Slice 80/155 | Head | Image size 240x240
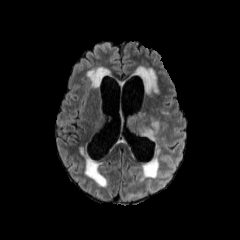
FLAIR magnetic resonance.
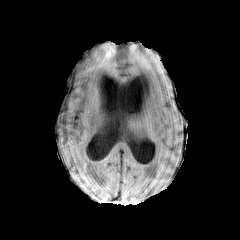
T1-weighted magnetic resonance.
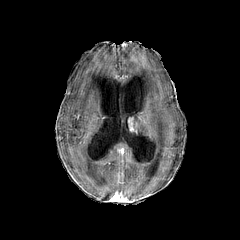
Same slice, post-contrast T1-weighted magnetic resonance.
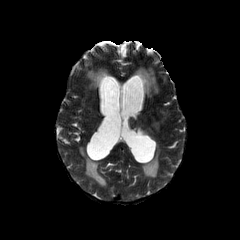
T2-weighted MRI.
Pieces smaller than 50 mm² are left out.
Segmented structures:
• peritumoral edema: (126,110,159,140)